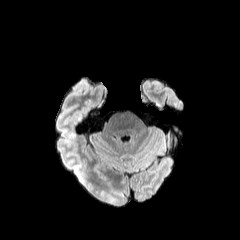
FLAIR MR image.
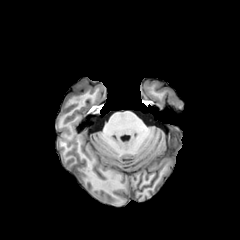
Same slice, T1-weighted MR image.
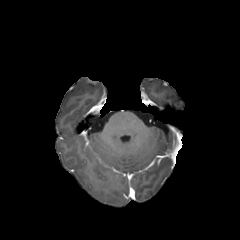
Post-contrast T1-weighted MR.
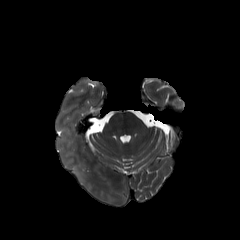
T2-weighted magnetic resonance.
Axial slice. Brain.
The peritumoral edema lies within (74, 166, 84, 183).